FLAIR magnetic resonance.
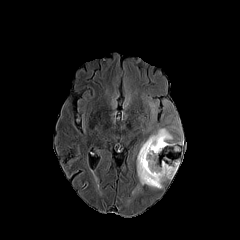
T1-weighted MR.
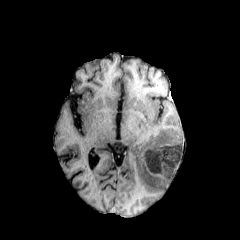
Post-contrast T1-weighted MRI.
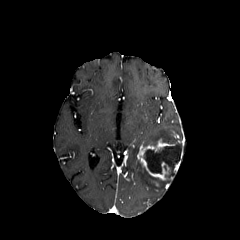
T2-weighted magnetic resonance.
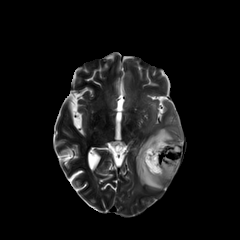
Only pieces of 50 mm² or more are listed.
enhancing_tumor:
  - {"x1": 137, "y1": 138, "x2": 176, "y2": 180}
peritumoral_edema:
  - {"x1": 150, "y1": 102, "x2": 156, "y2": 116}
  - {"x1": 143, "y1": 128, "x2": 176, "y2": 146}
  - {"x1": 137, "y1": 160, "x2": 163, "y2": 188}
necrotic_tumor_core:
  - {"x1": 144, "y1": 144, "x2": 181, "y2": 177}